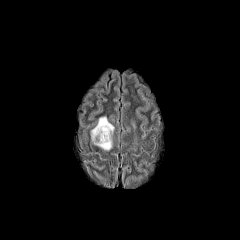
FLAIR magnetic resonance.
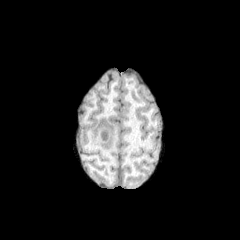
T1-weighted MRI.
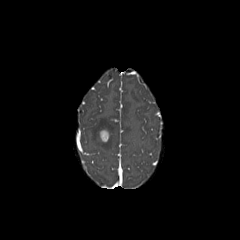
Same slice, post-contrast T1-weighted MRI.
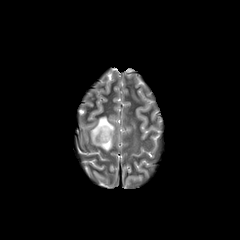
T2-weighted MR image of the same slice.
240x240; Head; Axial plane
Findings:
• enhancing tumor: (99,129,109,141)
• peritumoral edema: (91,116,114,150)